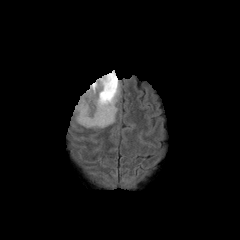
FLAIR magnetic resonance.
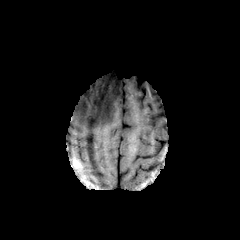
Same slice, T1-weighted MR image.
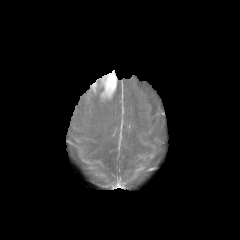
Post-contrast T1-weighted MR.
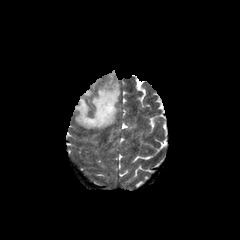
T2-weighted magnetic resonance.
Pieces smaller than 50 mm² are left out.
Findings:
- peritumoral edema: 75,80,119,128
- enhancing tumor: 98,71,117,99